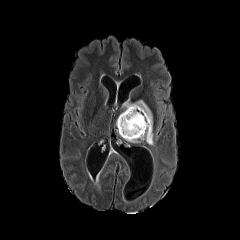
FLAIR magnetic resonance.
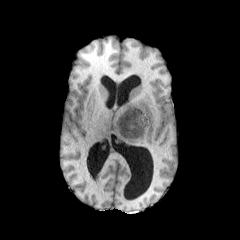
T1-weighted magnetic resonance.
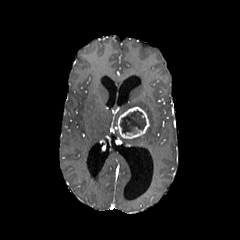
Same slice, post-contrast T1-weighted MRI.
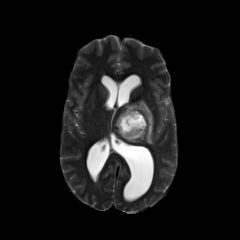
Same slice, T2-weighted MRI.
Image size 240x240 | Axial view
Annotated regions:
* enhancing tumor: 116 107 149 138
* peritumoral edema: 123 100 153 145
* necrotic tumor core: 120 110 145 135